Brain; Slice index 106
FLAIR MR image.
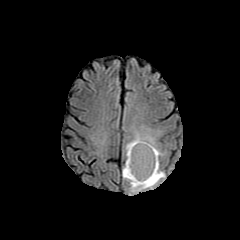
T1-weighted MR.
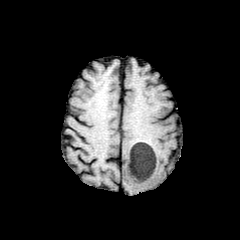
Post-contrast T1-weighted MR.
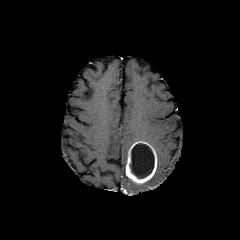
T2-weighted magnetic resonance.
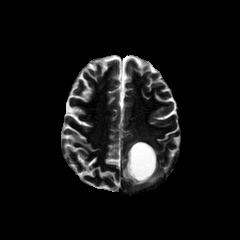
Findings:
• enhancing tumor: rect(125, 141, 157, 184)
• peritumoral edema: rect(122, 129, 164, 192)
• necrotic tumor core: rect(130, 143, 154, 178)